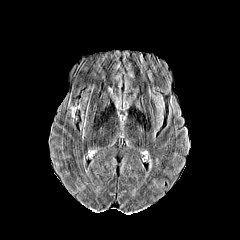
FLAIR MRI.
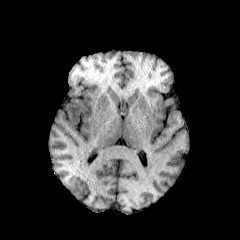
T1-weighted MRI.
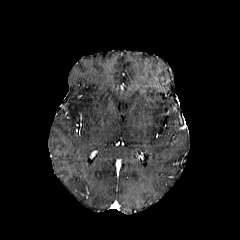
Post-contrast T1-weighted MR image of the same slice.
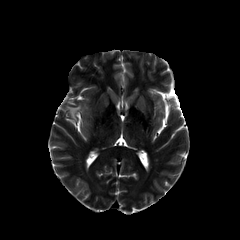
T2-weighted MRI.
Head
{"peritumoral_edema": ["70:105:80:117"]}